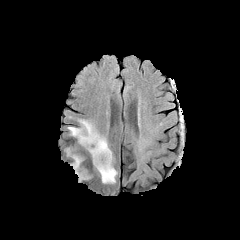
FLAIR magnetic resonance.
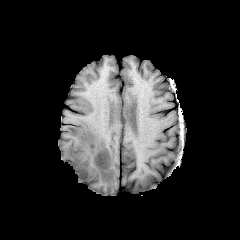
T1-weighted magnetic resonance.
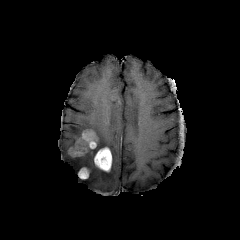
Post-contrast T1-weighted MRI.
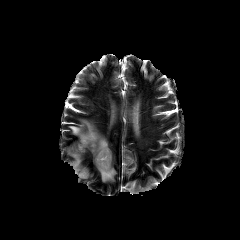
T2-weighted MR image.
Image size 240x240.
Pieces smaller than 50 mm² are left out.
{
  "enhancing_tumor": [
    "(left=69, top=146, right=86, bottom=156)",
    "(left=78, top=167, right=88, bottom=179)",
    "(left=94, top=147, right=112, bottom=171)",
    "(left=81, top=130, right=97, bottom=148)"
  ],
  "peritumoral_edema": [
    "(left=68, top=119, right=117, bottom=183)",
    "(left=70, top=156, right=82, bottom=174)"
  ]
}